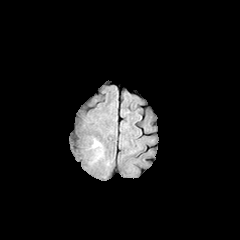
FLAIR MR image.
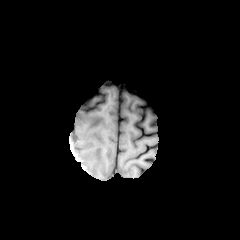
T1-weighted MR image.
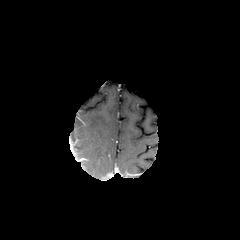
Post-contrast T1-weighted MR of the same slice.
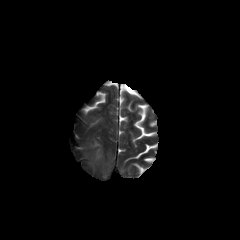
T2-weighted MR.
Axial plane
The peritumoral edema lies within (left=92, top=140, right=102, bottom=160).